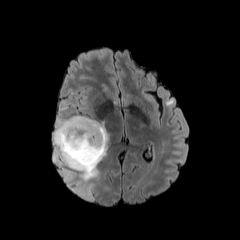
FLAIR MR.
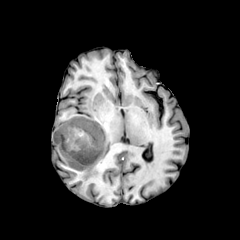
T1-weighted magnetic resonance.
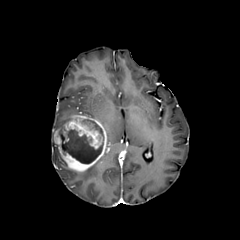
Post-contrast T1-weighted MRI.
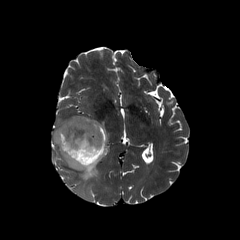
T2-weighted MR image of the same slice.
Head, 240x240 px
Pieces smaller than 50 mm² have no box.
<segmentation>
  <enhancing_tumor>[53, 115, 108, 171]</enhancing_tumor>
  <necrotic_tumor_core>[82, 119, 103, 136], [59, 129, 103, 163]</necrotic_tumor_core>
  <peritumoral_edema>[54, 117, 71, 131], [81, 157, 103, 180]</peritumoral_edema>
</segmentation>